FLAIR MR.
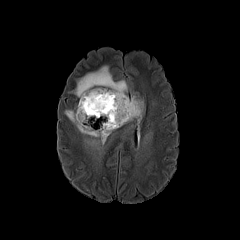
T1-weighted MRI.
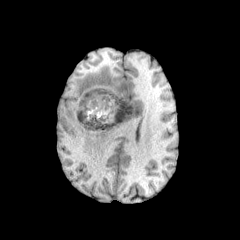
Post-contrast T1-weighted MR image.
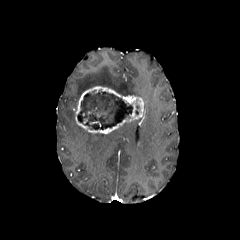
T2-weighted MR image.
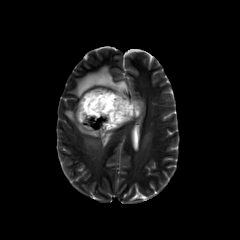
Axial slice. 240x240 px.
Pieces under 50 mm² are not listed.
The largest necrotic tumor core region is bounded by 77, 92, 132, 129. The largest enhancing tumor region is bounded by 74, 86, 144, 133. The 2 largest peritumoral edema regions are bounded by 74, 66, 128, 98; 65, 110, 111, 145.